Axial view; Head; Image size 240x240
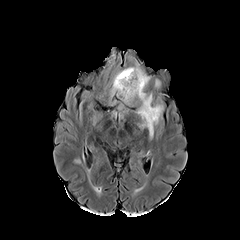
FLAIR MR.
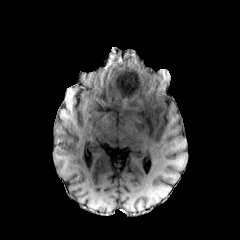
Same slice, T1-weighted magnetic resonance.
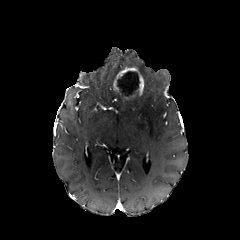
Post-contrast T1-weighted MR image.
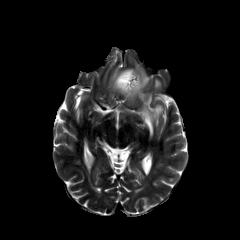
T2-weighted MRI of the same slice.
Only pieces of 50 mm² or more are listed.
Findings:
- enhancing tumor: [113,67,144,95]
- necrotic tumor core: [117,71,139,96]
- peritumoral edema: [136,92,163,137], [136,63,150,86]